FLAIR magnetic resonance.
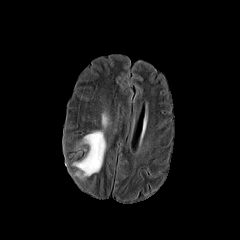
T1-weighted MR image.
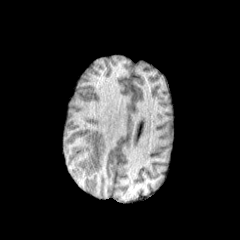
Post-contrast T1-weighted MR image.
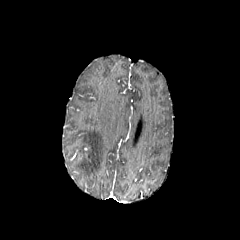
T2-weighted MR.
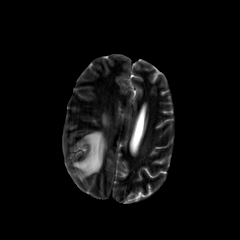
Brain
Segmented structures:
• peritumoral edema: region(72, 130, 106, 178); region(101, 112, 109, 126)